FLAIR MRI.
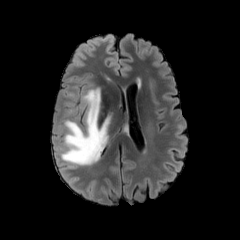
T1-weighted MR.
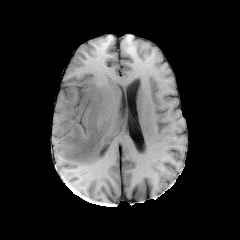
Post-contrast T1-weighted MR.
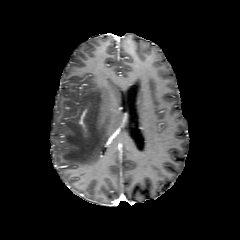
T2-weighted MR.
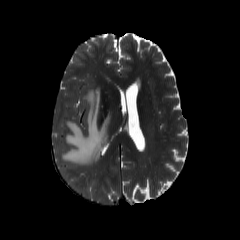
Axial slice
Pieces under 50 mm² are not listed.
peritumoral edema = bbox(60, 87, 110, 165)